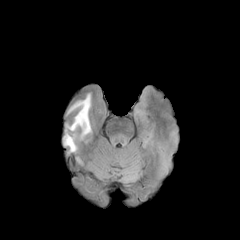
FLAIR MR.
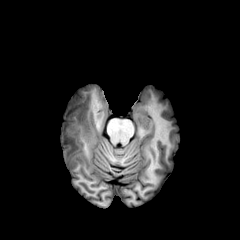
T1-weighted magnetic resonance.
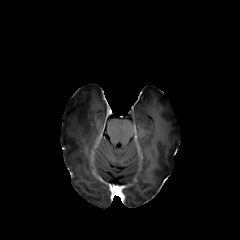
Post-contrast T1-weighted MRI of the same slice.
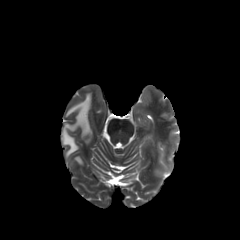
T2-weighted MRI of the same slice.
Brain | Image size 240x240
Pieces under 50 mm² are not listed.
Annotated regions:
• peritumoral edema: 63,94,91,154